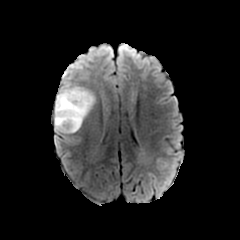
FLAIR MRI.
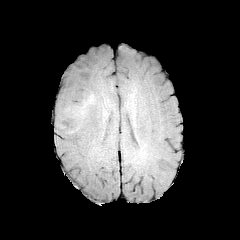
Same slice, T1-weighted MR.
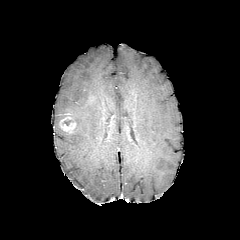
Post-contrast T1-weighted magnetic resonance.
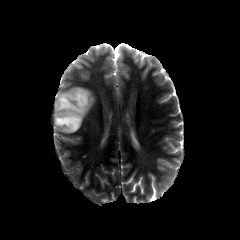
Same slice, T2-weighted MRI.
Axial view | Head
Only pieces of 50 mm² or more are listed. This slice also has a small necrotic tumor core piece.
Segmented structures:
- enhancing tumor: [x1=59, y1=113, x2=76, y2=133]
- peritumoral edema: [x1=53, y1=84, x2=95, y2=136]